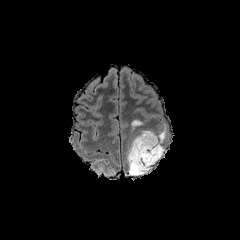
FLAIR MR.
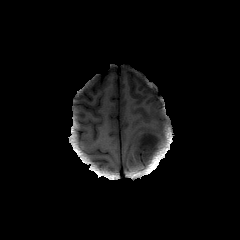
T1-weighted magnetic resonance of the same slice.
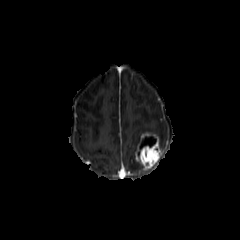
Post-contrast T1-weighted MR image of the same slice.
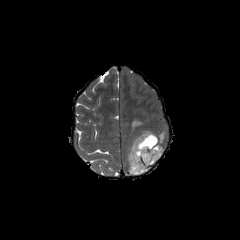
T2-weighted MRI.
Axial plane.
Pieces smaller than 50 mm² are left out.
The enhancing tumor is at [135,132,165,170]. 3 peritumoral edema regions are bounded by [131,120,142,129], [157,124,167,147], [127,130,152,175]. The largest necrotic tumor core region is bounded by [140,136,156,149].